Head. Axial plane.
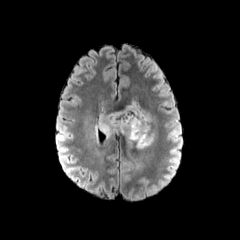
FLAIR MR.
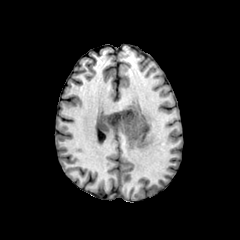
Same slice, T1-weighted MR.
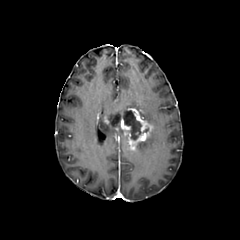
Post-contrast T1-weighted MR.
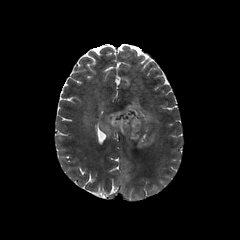
T2-weighted magnetic resonance.
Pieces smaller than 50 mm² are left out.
enhancing tumor = <bbox>105, 107, 152, 149</bbox>
peritumoral edema = <bbox>98, 114, 119, 137</bbox>, <bbox>124, 101, 153, 123</bbox>, <bbox>137, 131, 156, 151</bbox>
necrotic tumor core = <bbox>108, 110, 141, 139</bbox>